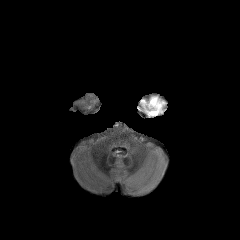
FLAIR MR image.
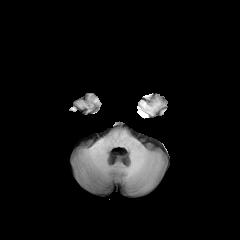
T1-weighted MRI.
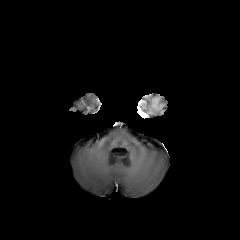
Post-contrast T1-weighted MRI.
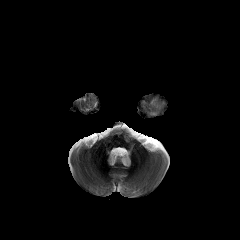
T2-weighted MR of the same slice.
Axial plane | Head
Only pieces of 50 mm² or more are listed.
peritumoral edema at 141 97 162 115
enhancing tumor at 152 97 162 109